FLAIR magnetic resonance.
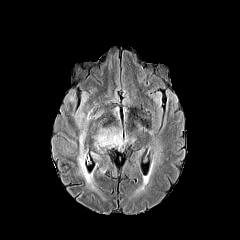
T1-weighted MR.
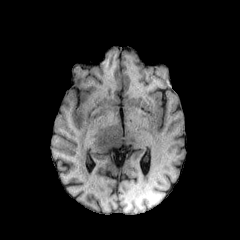
Post-contrast T1-weighted MR image.
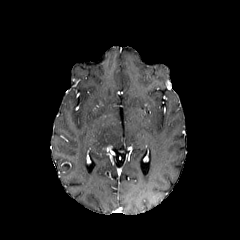
T2-weighted magnetic resonance.
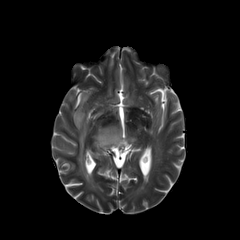
240x240. Brain.
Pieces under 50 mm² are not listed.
The 2 largest peritumoral edema regions are bounded by (93,123,135,152), (75,112,93,187).